Image size 240x240
FLAIR MR image.
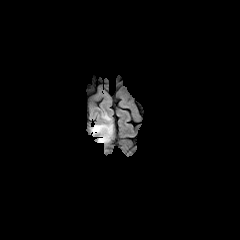
T1-weighted magnetic resonance.
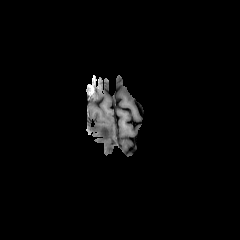
Post-contrast T1-weighted MRI.
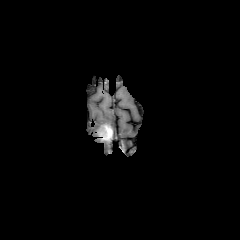
T2-weighted MRI.
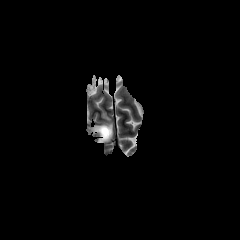
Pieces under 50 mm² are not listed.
The largest peritumoral edema region is bounded by {"x1": 89, "y1": 110, "x2": 114, "y2": 138}. The enhancing tumor is located at {"x1": 97, "y1": 123, "x2": 112, "y2": 142}.